FLAIR MR image.
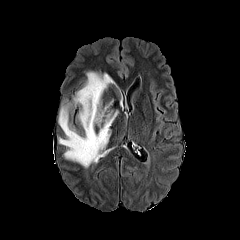
T1-weighted MR image.
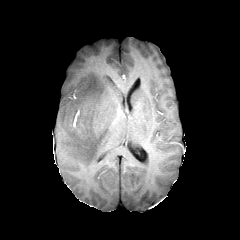
Post-contrast T1-weighted magnetic resonance.
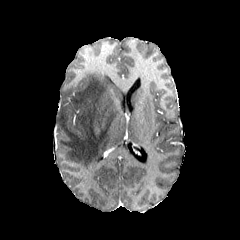
T2-weighted MRI.
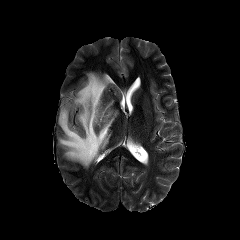
Axial slice, Brain
peritumoral edema: bounding box (x1=58, y1=71, x2=118, y2=168)